Image width 240 mm, 1.00 mm slice spacing. Axial slice. Slice 38/155. Head. Image size 240x240.
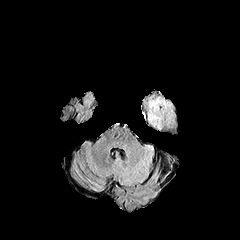
FLAIR magnetic resonance.
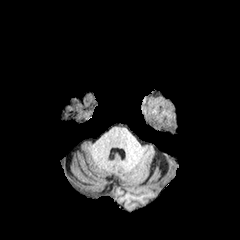
T1-weighted magnetic resonance.
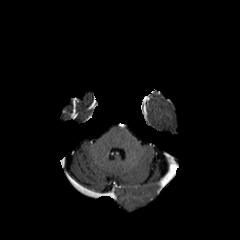
Same slice, post-contrast T1-weighted MR image.
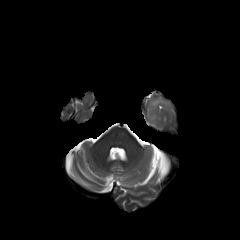
T2-weighted magnetic resonance.
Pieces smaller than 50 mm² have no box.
The largest peritumoral edema region lies within 149 99 167 110.